240x240. Image width 240 mm.
FLAIR MRI.
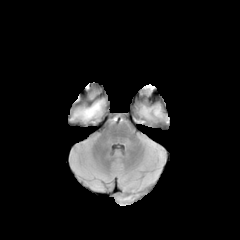
T1-weighted MR.
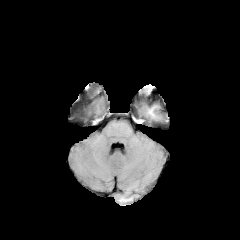
Post-contrast T1-weighted MR image.
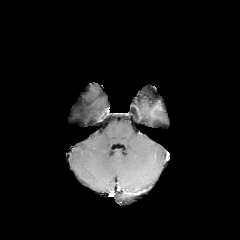
T2-weighted magnetic resonance.
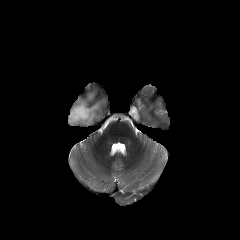
Segmented structures:
- peritumoral edema: (left=70, top=84, right=106, bottom=122)